Slice 41 of 155. Brain. 240x240.
FLAIR MRI.
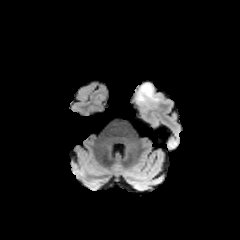
T1-weighted MR.
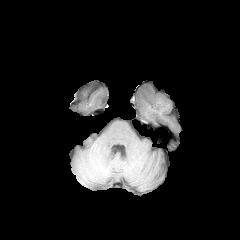
Post-contrast T1-weighted MRI.
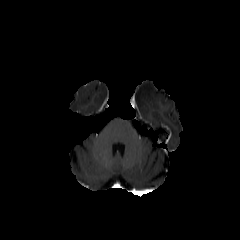
T2-weighted MRI.
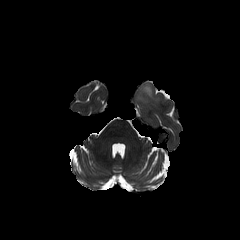
peritumoral edema: [137, 83, 156, 100]